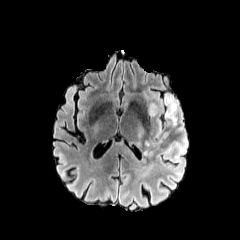
FLAIR magnetic resonance.
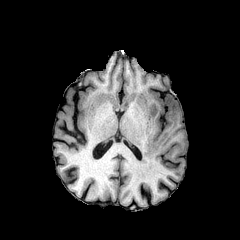
T1-weighted MR image of the same slice.
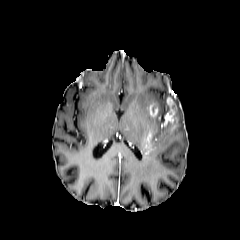
Post-contrast T1-weighted MRI.
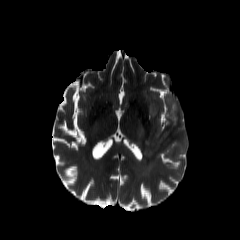
T2-weighted MR.
Head; Axial view
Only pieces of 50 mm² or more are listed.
peritumoral edema: bounding box x1=138 y1=126 x2=144 y2=136, x1=143 y1=91 x2=188 y2=173
enhancing tumor: bounding box x1=148 y1=103 x2=158 y2=117, x1=143 y1=126 x2=159 y2=153, x1=164 y1=96 x2=176 y2=125